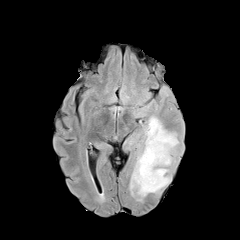
FLAIR magnetic resonance.
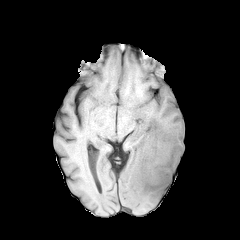
Same slice, T1-weighted magnetic resonance.
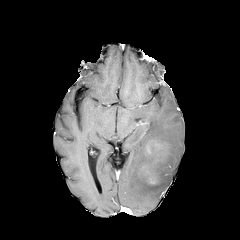
Post-contrast T1-weighted MRI.
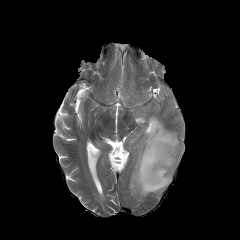
T2-weighted magnetic resonance of the same slice.
240x240, Brain
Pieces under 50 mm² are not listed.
Findings:
• enhancing tumor: <bbox>148, 176, 156, 184</bbox>
• peritumoral edema: <bbox>129, 116, 179, 200</bbox>